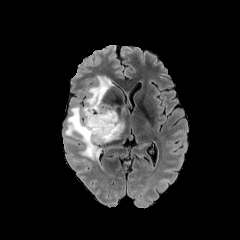
FLAIR MR.
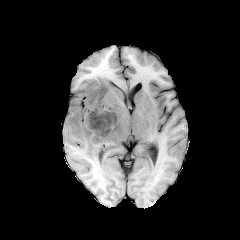
Same slice, T1-weighted magnetic resonance.
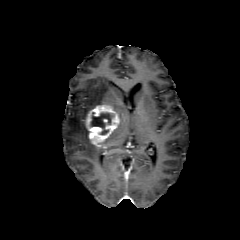
Post-contrast T1-weighted magnetic resonance.
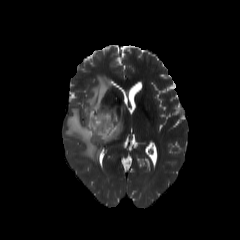
Same slice, T2-weighted MR.
240x240. Axial view.
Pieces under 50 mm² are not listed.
necrotic tumor core: x1=91, y1=113, x2=110, y2=128 | enhancing tumor: x1=85, y1=104, x2=120, y2=146 | peritumoral edema: x1=65, y1=75, x2=112, y2=160; x1=103, y1=120, x2=123, y2=143